FLAIR magnetic resonance.
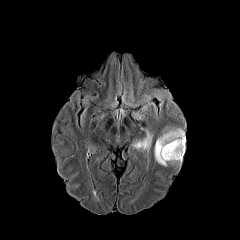
T1-weighted MRI.
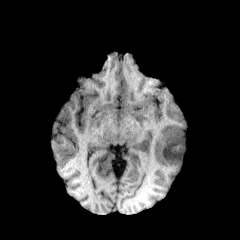
Post-contrast T1-weighted MR image.
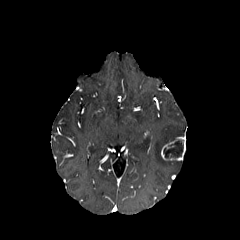
T2-weighted MR image.
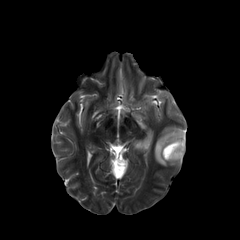
necrotic tumor core at {"x1": 163, "y1": 140, "x2": 183, "y2": 157}
enhancing tumor at {"x1": 161, "y1": 137, "x2": 185, "y2": 160}
peritumoral edema at {"x1": 154, "y1": 128, "x2": 183, "y2": 166}, {"x1": 132, "y1": 135, "x2": 151, "y2": 149}